FLAIR magnetic resonance.
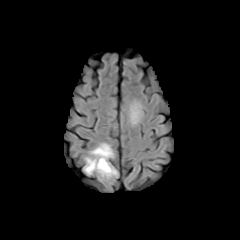
T1-weighted MRI.
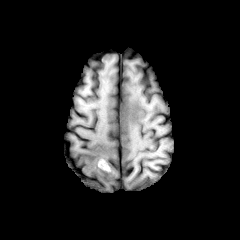
Post-contrast T1-weighted MRI.
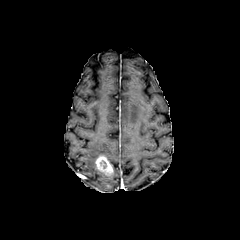
T2-weighted MRI.
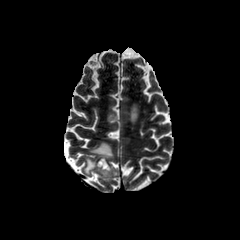
Axial view
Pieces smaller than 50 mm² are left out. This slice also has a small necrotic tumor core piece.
peritumoral edema — l=84, t=143, r=117, b=178; l=130, t=102, r=139, b=124
enhancing tumor — l=95, t=156, r=113, b=175